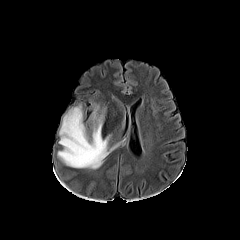
FLAIR MR.
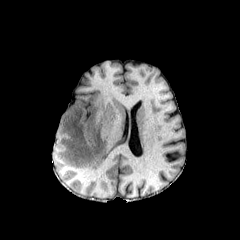
T1-weighted magnetic resonance.
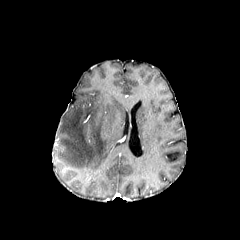
Post-contrast T1-weighted magnetic resonance.
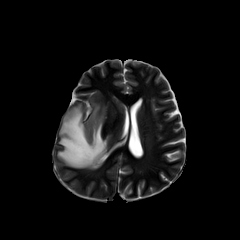
Same slice, T2-weighted MR image.
Axial slice; 240x240; Head
The peritumoral edema is at x1=57, y1=104, x2=118, y2=169.